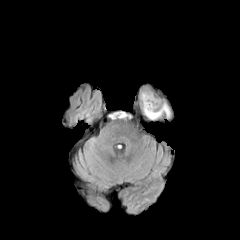
FLAIR magnetic resonance.
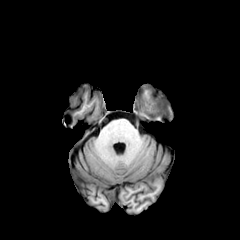
T1-weighted magnetic resonance.
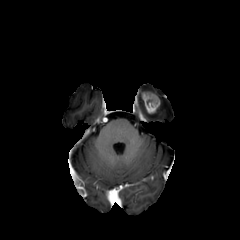
Same slice, post-contrast T1-weighted MR image.
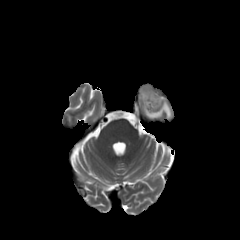
T2-weighted MR of the same slice.
240x240 px | Head
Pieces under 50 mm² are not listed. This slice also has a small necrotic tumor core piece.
<segmentation>
  <peritumoral_edema>(143, 101, 170, 118)</peritumoral_edema>
  <enhancing_tumor>(141, 92, 160, 113)</enhancing_tumor>
</segmentation>